Image size 240x240 | Image width 240 mm | Slice index 83
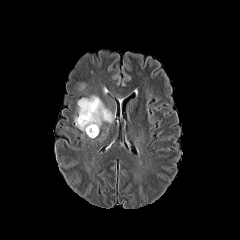
FLAIR MR image.
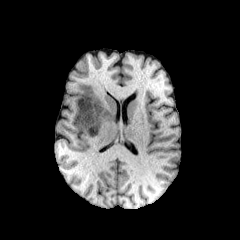
T1-weighted MR of the same slice.
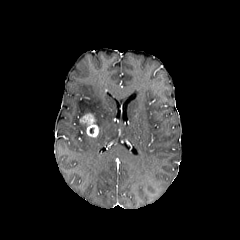
Post-contrast T1-weighted magnetic resonance.
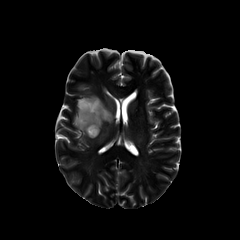
T2-weighted MR image.
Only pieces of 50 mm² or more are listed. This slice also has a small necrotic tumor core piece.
The enhancing tumor is bounded by [79,113,98,137]. The largest peritumoral edema region is at [74,95,114,132].